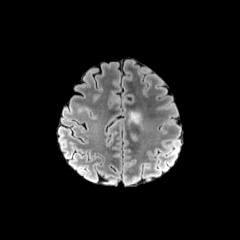
FLAIR MRI.
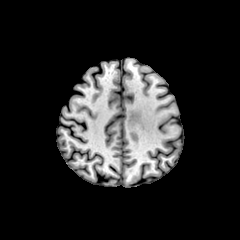
T1-weighted MR.
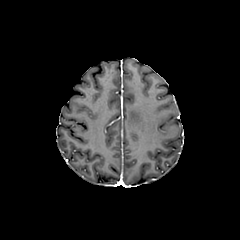
Post-contrast T1-weighted MRI.
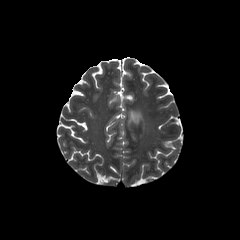
T2-weighted MR image of the same slice.
Axial view
peritumoral_edema:
  - <bbox>129, 111, 140, 123</bbox>